Axial view. Head. 240x240 px.
FLAIR MR.
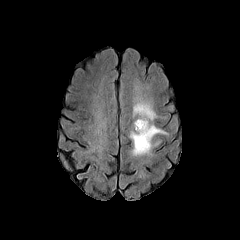
T1-weighted MR image.
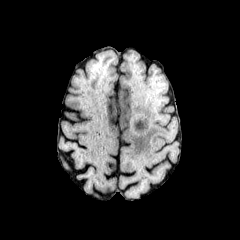
Post-contrast T1-weighted magnetic resonance.
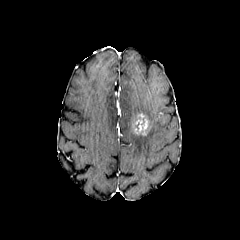
T2-weighted MR image.
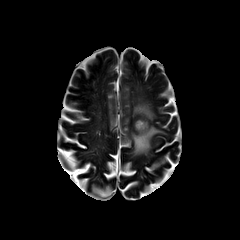
peritumoral edema: {"x1": 130, "y1": 97, "x2": 166, "y2": 155}
enhancing tumor: {"x1": 133, "y1": 113, "x2": 150, "y2": 135}